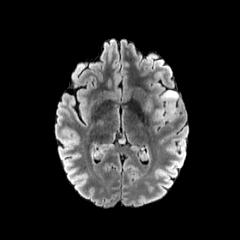
FLAIR magnetic resonance.
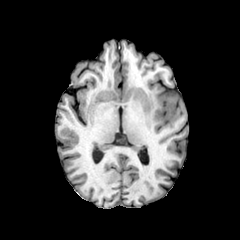
T1-weighted MR image.
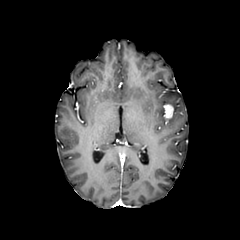
Post-contrast T1-weighted MR image of the same slice.
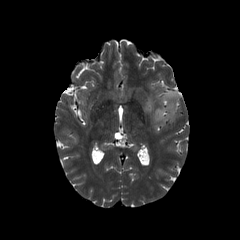
T2-weighted magnetic resonance.
Brain, Axial view
{"enhancing_tumor": ["<box>164,104,173,118</box>"], "peritumoral_edema": ["<box>155,90,178,122</box>"]}